Brain
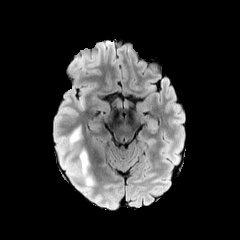
FLAIR MR.
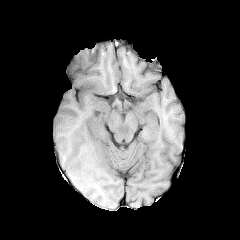
Same slice, T1-weighted MR image.
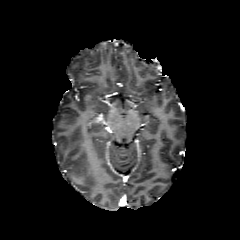
Same slice, post-contrast T1-weighted MR.
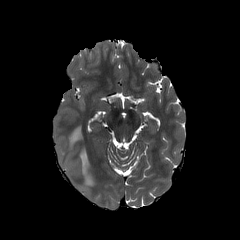
T2-weighted MR.
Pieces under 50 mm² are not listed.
The 2 largest peritumoral edema regions appear at rect(79, 150, 95, 186); rect(68, 126, 81, 148).